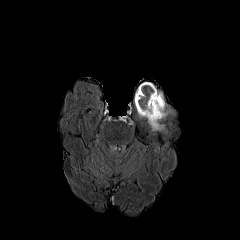
FLAIR MR image.
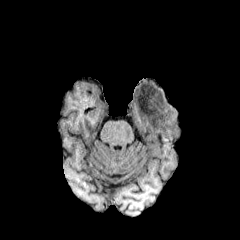
T1-weighted MR image.
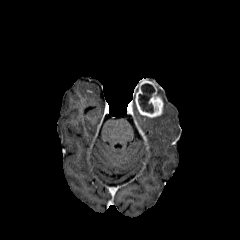
Same slice, post-contrast T1-weighted MRI.
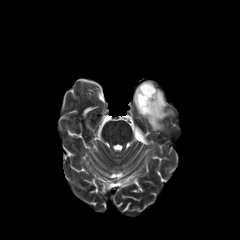
Same slice, T2-weighted MR.
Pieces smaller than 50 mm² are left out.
The largest peritumoral edema region is at 138:90:172:130. The necrotic tumor core is bounded by 138:83:154:112. The enhancing tumor lies within 135:80:163:118.